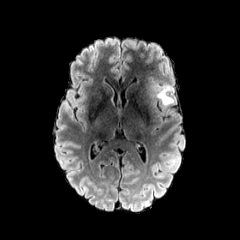
FLAIR MRI.
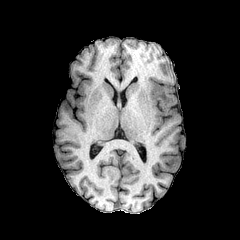
Same slice, T1-weighted MR.
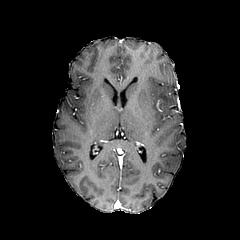
Post-contrast T1-weighted MRI.
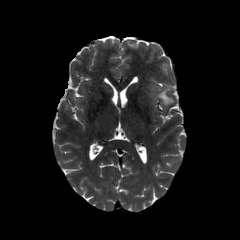
T2-weighted MRI.
Axial plane | Brain
peritumoral edema: bounding box bbox=[155, 84, 173, 107]